Brain, Slice 125 of 155, Image width 240 mm, Axial slice
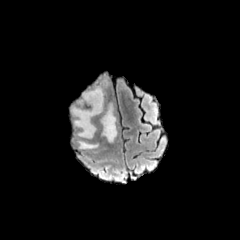
FLAIR magnetic resonance.
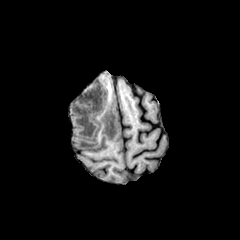
T1-weighted magnetic resonance.
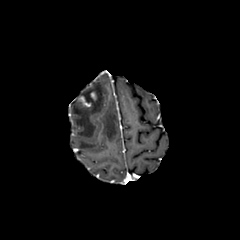
Post-contrast T1-weighted MR image.
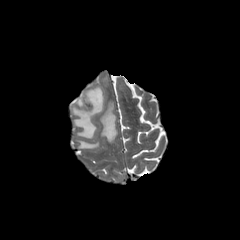
T2-weighted MRI of the same slice.
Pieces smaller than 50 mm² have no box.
The largest enhancing tumor region is at <box>79,96,90,106</box>. 3 peritumoral edema regions appear at <box>101,104,117,142</box>, <box>72,86,103,138</box>, <box>78,141,98,148</box>.